FLAIR magnetic resonance.
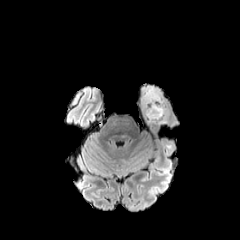
T1-weighted MRI.
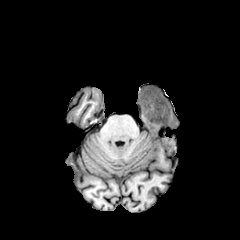
Post-contrast T1-weighted MRI.
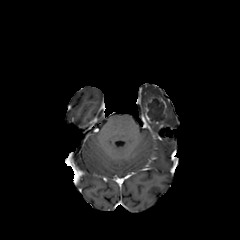
T2-weighted MR image.
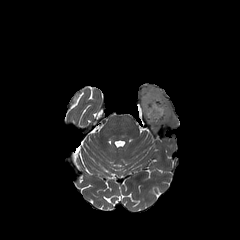
Axial plane.
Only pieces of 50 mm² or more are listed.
The necrotic tumor core lies within l=147, t=98, r=163, b=121. The largest peritumoral edema region is located at l=140, t=86, r=162, b=116. The enhancing tumor is bounded by l=142, t=95, r=168, b=124.